Axial view, Brain
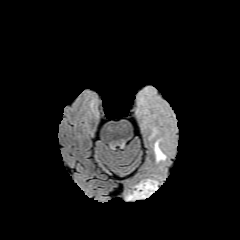
FLAIR MR image.
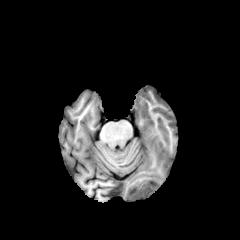
T1-weighted MRI of the same slice.
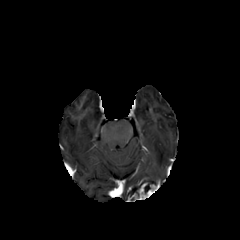
Post-contrast T1-weighted MR image.
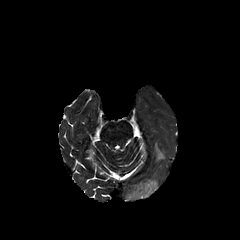
Same slice, T2-weighted MR.
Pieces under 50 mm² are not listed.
necrotic tumor core: bbox=[128, 180, 156, 196]
peritumoral edema: bbox=[154, 140, 165, 162]
enhancing tumor: bbox=[127, 180, 159, 201]